FLAIR MR image.
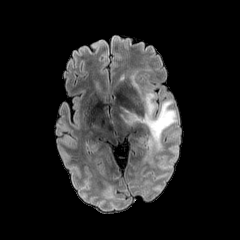
T1-weighted MR.
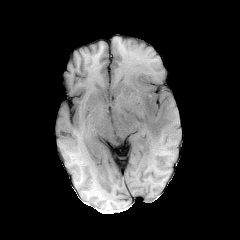
Post-contrast T1-weighted magnetic resonance.
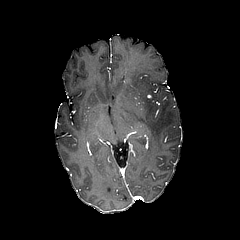
T2-weighted MR.
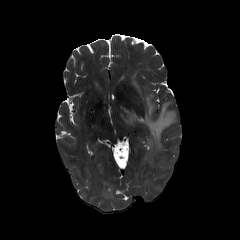
Axial plane, Head
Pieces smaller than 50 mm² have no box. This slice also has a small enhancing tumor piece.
peritumoral_edema:
  - <bbox>131, 72, 140, 93</bbox>
  - <bbox>120, 93, 176, 150</bbox>